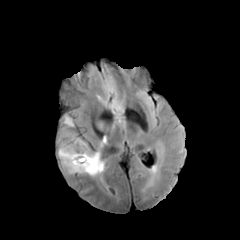
FLAIR MR image.
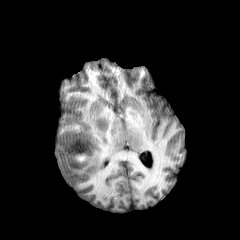
T1-weighted MR image.
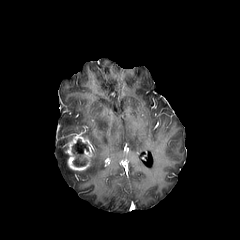
Same slice, post-contrast T1-weighted MRI.
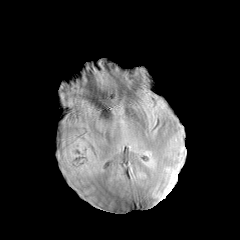
T2-weighted MR image of the same slice.
Axial plane, 240x240 px
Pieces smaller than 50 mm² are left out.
enhancing tumor: x1=61, y1=132, x2=93, y2=170
necrotic tumor core: x1=73, y1=140, x2=88, y2=165
peritumoral edema: x1=63, y1=116, x2=74, y2=126; x1=58, y1=140, x2=104, y2=176